Brain; Axial slice; Image size 240x240; Image width 240 mm
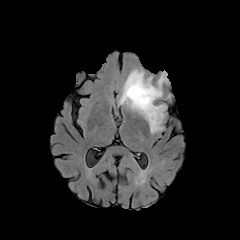
FLAIR MRI.
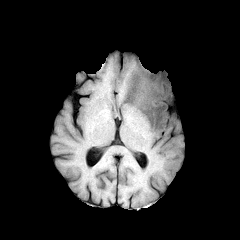
T1-weighted MR of the same slice.
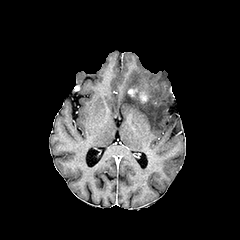
Post-contrast T1-weighted MR of the same slice.
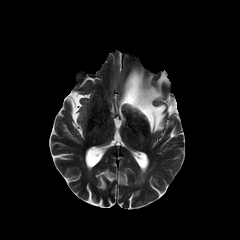
T2-weighted magnetic resonance.
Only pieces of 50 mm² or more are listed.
The largest peritumoral edema region lies within (left=119, top=69, right=168, bottom=133). 2 enhancing tumor regions appear at (left=139, top=91, right=148, bottom=102), (left=128, top=88, right=137, bottom=96).